FLAIR MR.
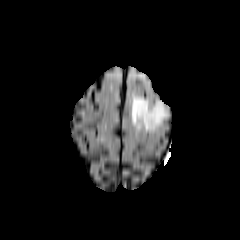
T1-weighted magnetic resonance.
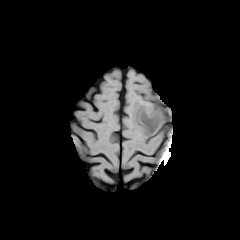
Post-contrast T1-weighted MR.
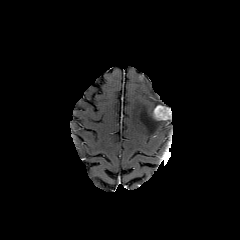
T2-weighted MR.
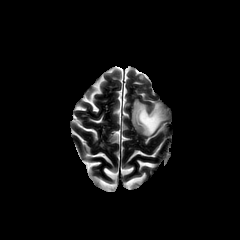
Brain.
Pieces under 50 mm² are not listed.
The enhancing tumor lies within 152,104,170,120. The largest peritumoral edema region is at 131,96,168,135.